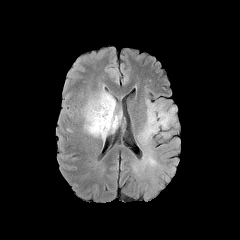
FLAIR MRI.
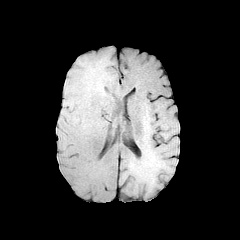
T1-weighted magnetic resonance.
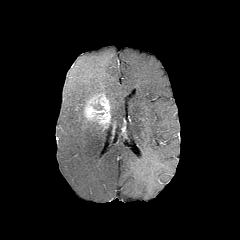
Post-contrast T1-weighted MRI of the same slice.
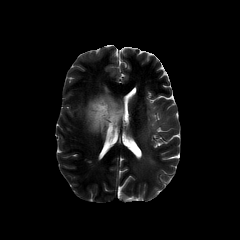
Same slice, T2-weighted MR.
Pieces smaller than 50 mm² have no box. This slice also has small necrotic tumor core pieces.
Annotated regions:
* enhancing tumor: 83 94 110 127
* peritumoral edema: 79 91 121 136, 159 125 178 137, 133 99 175 178, 173 139 177 153